Slice index 45; Head; Axial view
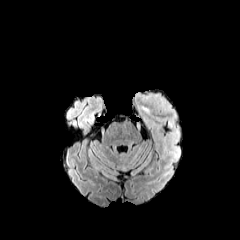
FLAIR MR image.
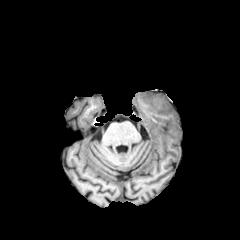
T1-weighted magnetic resonance of the same slice.
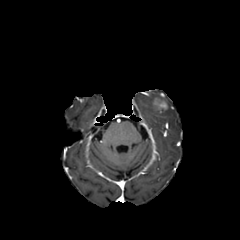
Post-contrast T1-weighted MRI.
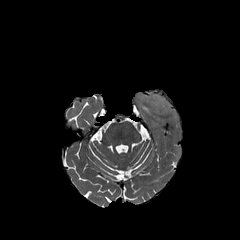
T2-weighted magnetic resonance.
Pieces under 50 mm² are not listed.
enhancing tumor = <bbox>153, 98, 167, 112</bbox>
peritumoral edema = <bbox>138, 104, 150, 114</bbox>, <bbox>137, 93, 175, 117</bbox>